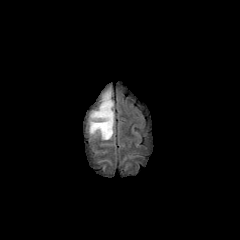
FLAIR magnetic resonance.
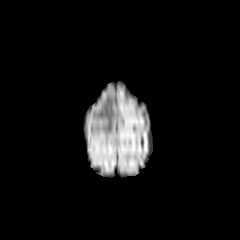
T1-weighted magnetic resonance of the same slice.
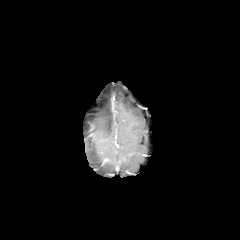
Post-contrast T1-weighted MRI.
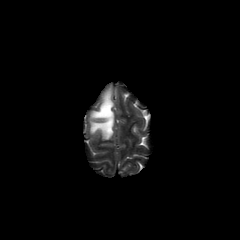
T2-weighted MRI.
<segmentation>
  <peritumoral_edema>region(89, 88, 114, 140)</peritumoral_edema>
</segmentation>